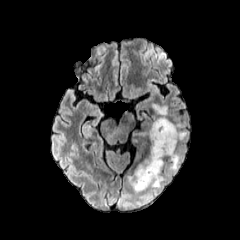
FLAIR MRI.
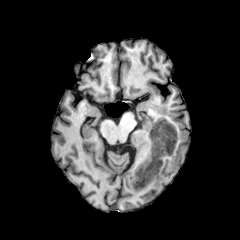
T1-weighted MRI of the same slice.
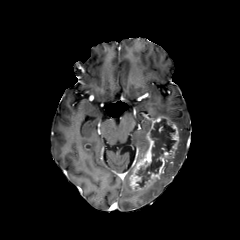
Post-contrast T1-weighted MRI of the same slice.
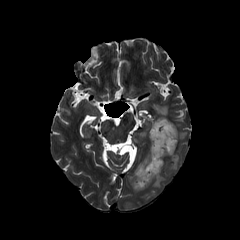
T2-weighted MR.
Axial plane; 240x240
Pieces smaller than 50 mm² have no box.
peritumoral edema — x1=176, y1=123, x2=187, y2=141; x1=153, y1=104, x2=167, y2=116; x1=168, y1=149, x2=182, y2=172; x1=149, y1=174, x2=165, y2=187
necrotic tumor core — x1=136, y1=119, x2=175, y2=187
enhancing tumor — x1=130, y1=116, x2=179, y2=190